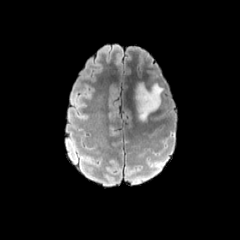
FLAIR MRI.
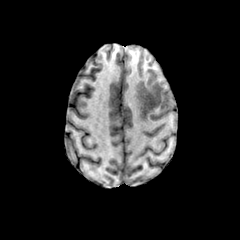
T1-weighted MR image.
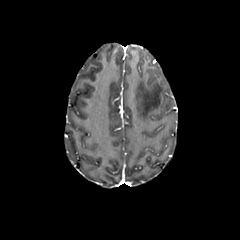
Same slice, post-contrast T1-weighted MRI.
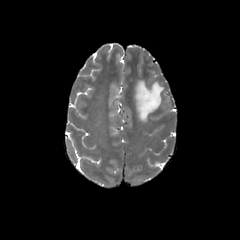
T2-weighted MR.
Brain, Image size 240x240, Axial slice
peritumoral edema: <box>135,82,163,121</box>